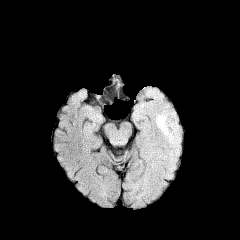
FLAIR MR.
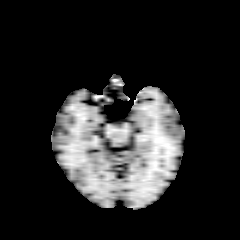
T1-weighted MRI.
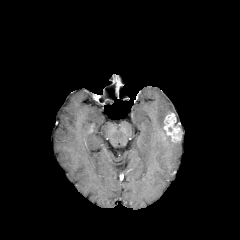
Post-contrast T1-weighted MR of the same slice.
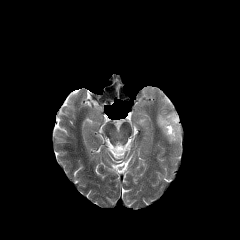
Same slice, T2-weighted MRI.
Brain.
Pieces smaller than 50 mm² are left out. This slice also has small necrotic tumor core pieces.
The enhancing tumor is bounded by left=163, top=112, right=182, bottom=141. The largest peritumoral edema region lies within left=156, top=113, right=178, bottom=144.